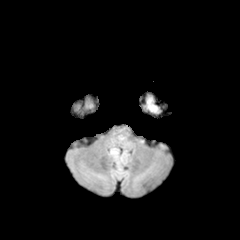
FLAIR MR image.
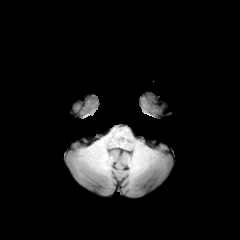
T1-weighted MRI.
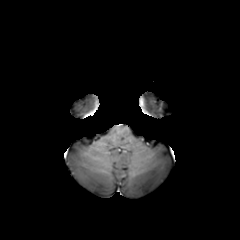
Same slice, post-contrast T1-weighted MR image.
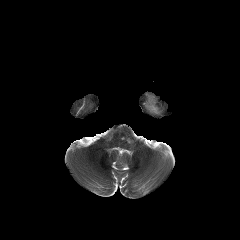
Same slice, T2-weighted MRI.
Head
Annotated regions:
* peritumoral edema: (147,99,157,111)